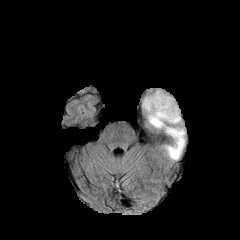
FLAIR MRI.
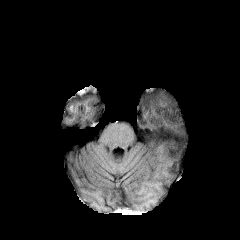
T1-weighted MR.
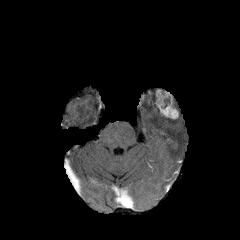
Post-contrast T1-weighted MR of the same slice.
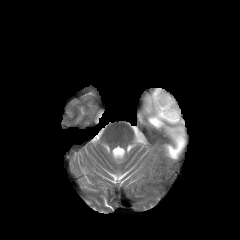
T2-weighted MR image of the same slice.
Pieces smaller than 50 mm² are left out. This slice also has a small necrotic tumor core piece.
peritumoral edema: left=142, top=91, right=185, bottom=159 | enhancing tumor: left=155, top=89, right=178, bottom=119